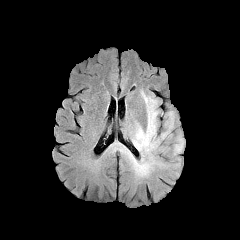
FLAIR MR image.
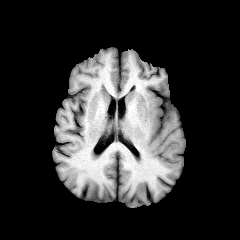
T1-weighted magnetic resonance.
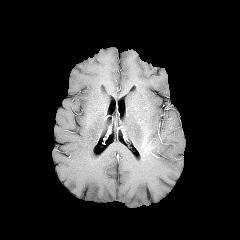
Post-contrast T1-weighted MR of the same slice.
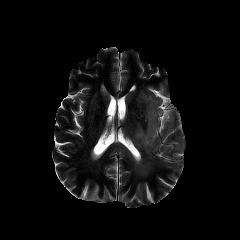
Same slice, T2-weighted MRI.
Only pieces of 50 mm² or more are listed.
peritumoral edema — box=[161, 111, 173, 138]; box=[133, 93, 159, 154]; box=[132, 158, 149, 174]
enhancing tumor — box=[142, 132, 149, 148]